FLAIR MR.
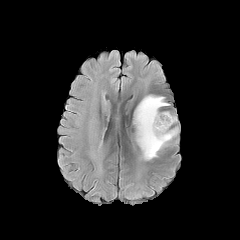
T1-weighted MRI.
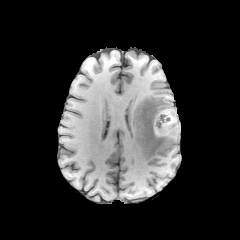
Post-contrast T1-weighted MR.
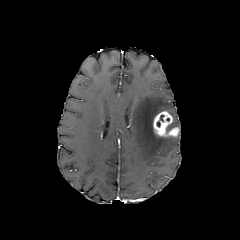
T2-weighted magnetic resonance.
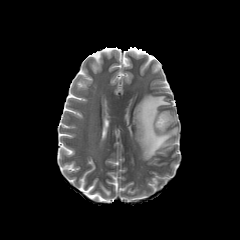
Head. Image size 240x240.
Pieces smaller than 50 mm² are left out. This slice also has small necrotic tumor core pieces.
{
  "peritumoral_edema": [
    "rect(133, 95, 173, 160)"
  ],
  "enhancing_tumor": [
    "rect(153, 111, 179, 137)"
  ]
}